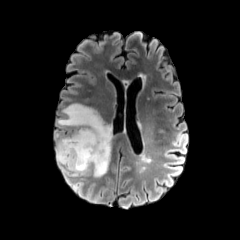
FLAIR MR image.
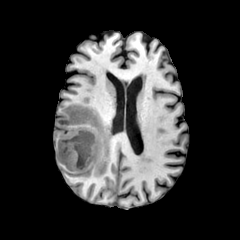
T1-weighted magnetic resonance of the same slice.
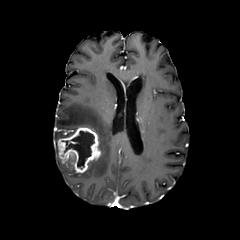
Post-contrast T1-weighted MR.
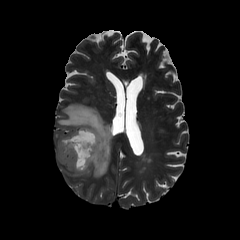
T2-weighted MR image.
Brain. Axial view.
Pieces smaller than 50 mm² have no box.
enhancing tumor: bbox=[58, 127, 100, 172]
peritumoral edema: bbox=[55, 103, 112, 177]
necrotic tumor core: bbox=[62, 131, 94, 167]